FLAIR magnetic resonance.
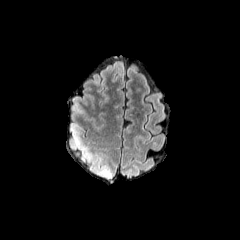
T1-weighted magnetic resonance.
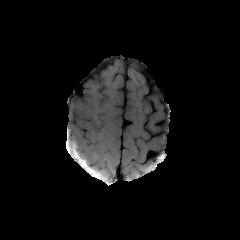
Post-contrast T1-weighted magnetic resonance.
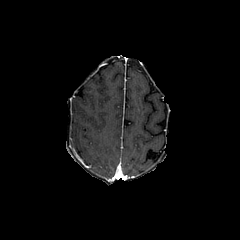
T2-weighted magnetic resonance.
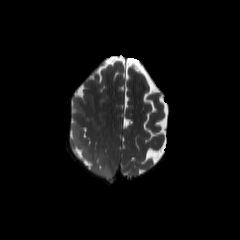
240x240 | Head | Axial slice
peritumoral edema: [90,166,112,179], [71,123,92,162]